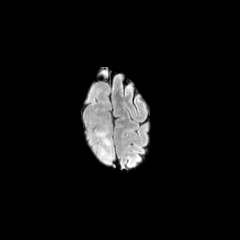
FLAIR magnetic resonance.
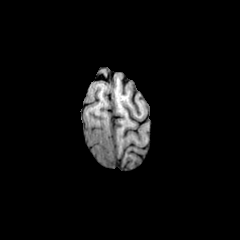
T1-weighted MR image of the same slice.
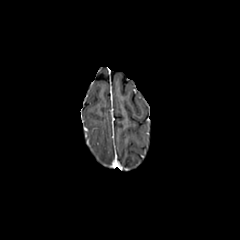
Post-contrast T1-weighted MR image.
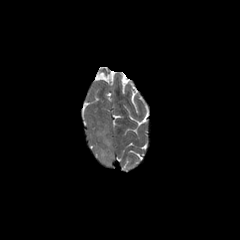
Same slice, T2-weighted MR.
The peritumoral edema is at box=[94, 125, 113, 163].